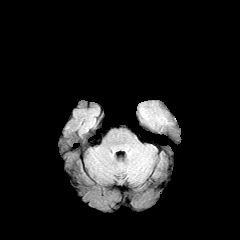
FLAIR MRI.
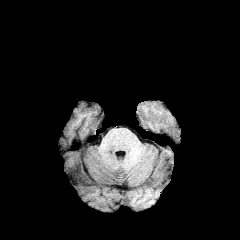
Same slice, T1-weighted magnetic resonance.
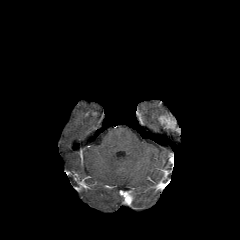
Post-contrast T1-weighted magnetic resonance.
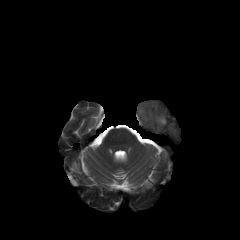
Same slice, T2-weighted magnetic resonance.
Head.
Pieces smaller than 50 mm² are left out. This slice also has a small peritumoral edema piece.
enhancing tumor — left=158, top=115, right=179, bottom=131